Axial plane; Head
FLAIR magnetic resonance.
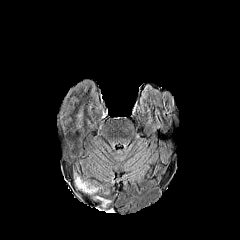
T1-weighted MR.
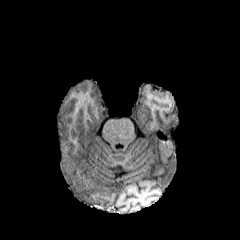
Post-contrast T1-weighted magnetic resonance.
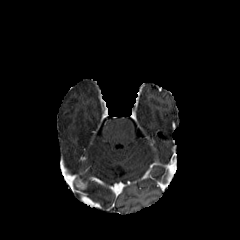
T2-weighted MR.
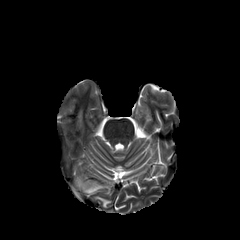
enhancing tumor — rect(74, 175, 87, 190)
peritumoral edema — rect(82, 185, 98, 193); rect(95, 196, 109, 205)